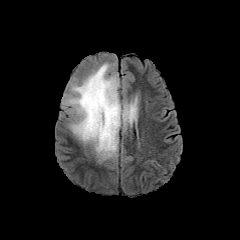
FLAIR MR.
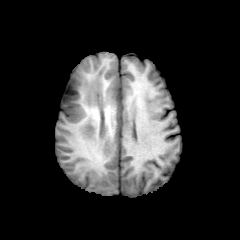
T1-weighted MRI of the same slice.
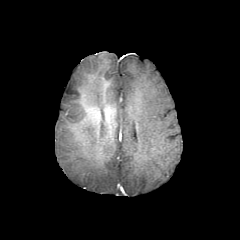
Post-contrast T1-weighted MR of the same slice.
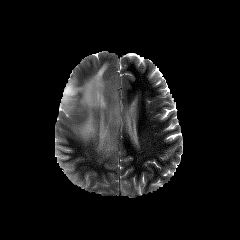
T2-weighted MR of the same slice.
peritumoral edema — box(62, 63, 140, 159)